Slice 136/155, Brain
FLAIR magnetic resonance.
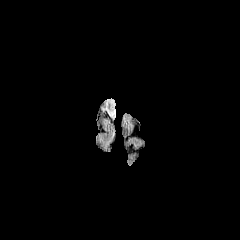
T1-weighted MR image.
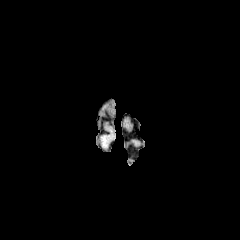
Post-contrast T1-weighted MRI.
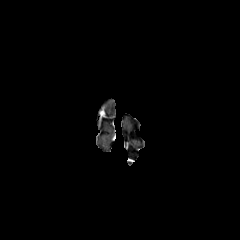
T2-weighted MRI.
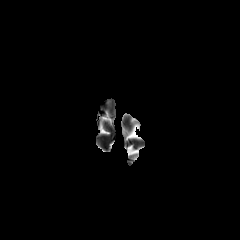
peritumoral edema: bbox(105, 99, 115, 117)